FLAIR MR.
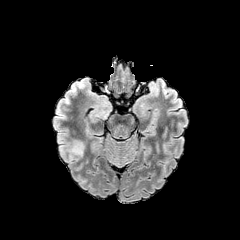
T1-weighted MR.
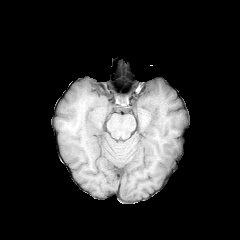
Post-contrast T1-weighted magnetic resonance.
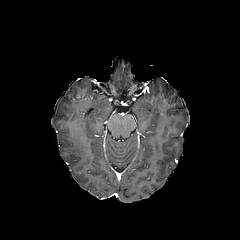
T2-weighted MRI.
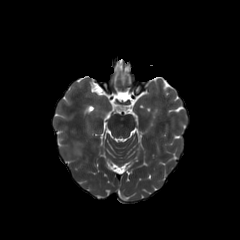
Axial plane; Brain
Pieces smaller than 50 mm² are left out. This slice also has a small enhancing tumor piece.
peritumoral edema = 59:141:84:161